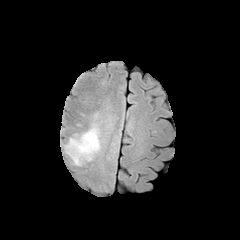
FLAIR magnetic resonance.
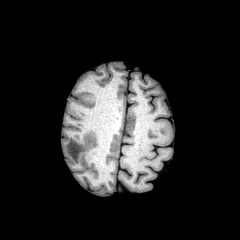
T1-weighted MR.
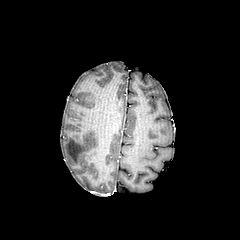
Post-contrast T1-weighted MR image of the same slice.
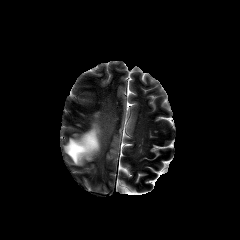
T2-weighted magnetic resonance.
Axial view. Head.
Segmented structures:
* peritumoral edema: [65, 124, 100, 165]